Axial plane | Slice 97/155
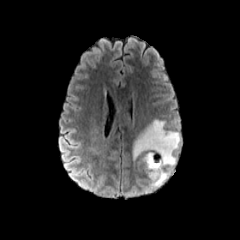
FLAIR MR image.
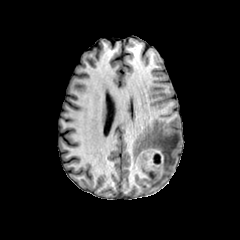
T1-weighted MRI.
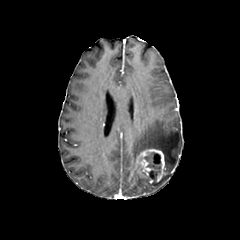
Post-contrast T1-weighted MR.
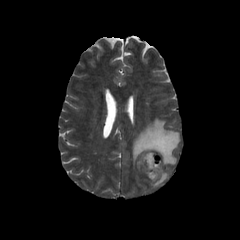
T2-weighted magnetic resonance.
The enhancing tumor is located at {"x1": 135, "y1": 147, "x2": 167, "y2": 182}. The necrotic tumor core is at {"x1": 144, "y1": 152, "x2": 161, "y2": 179}. The peritumoral edema appears at {"x1": 132, "y1": 119, "x2": 181, "y2": 188}.